Axial plane.
FLAIR MR.
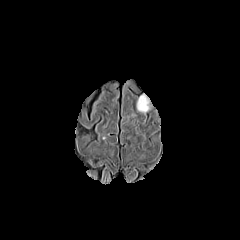
T1-weighted MR.
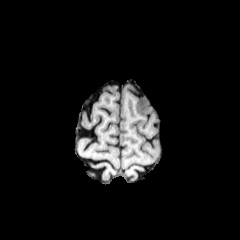
Post-contrast T1-weighted MRI.
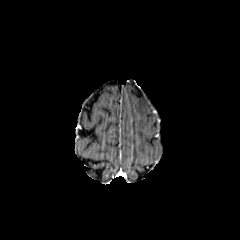
T2-weighted MR.
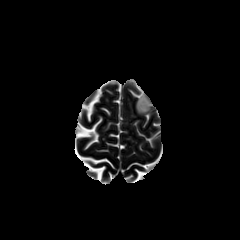
peritumoral edema — [137, 93, 149, 112]